Slice index 81. Image covers 240 mm x 240 mm. Image size 240x240.
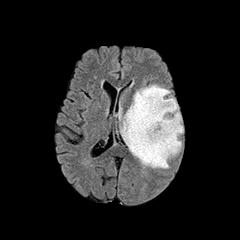
FLAIR MR image.
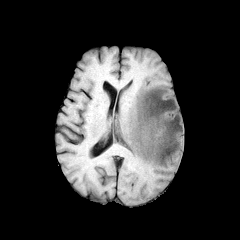
T1-weighted magnetic resonance.
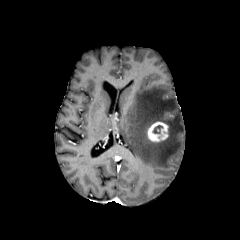
Same slice, post-contrast T1-weighted MR image.
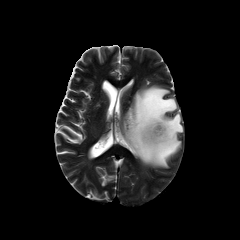
Same slice, T2-weighted MR image.
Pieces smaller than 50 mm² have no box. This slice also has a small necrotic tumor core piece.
The enhancing tumor appears at [x1=147, y1=121, x2=168, y2=142]. The peritumoral edema is at [x1=119, y1=84, x2=183, y2=168].